Axial plane | Brain
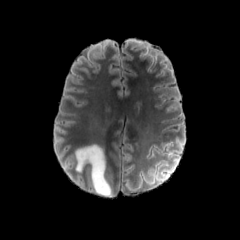
FLAIR MR.
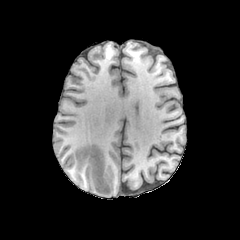
T1-weighted MR image.
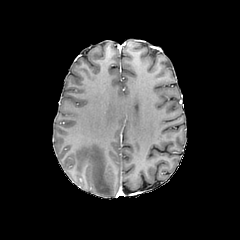
Post-contrast T1-weighted MR image.
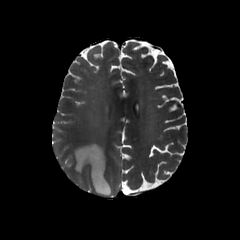
T2-weighted MRI.
<segmentation>
  <peritumoral_edema>75, 144, 111, 195</peritumoral_edema>
</segmentation>